Slice index 31.
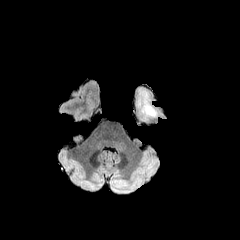
FLAIR MRI.
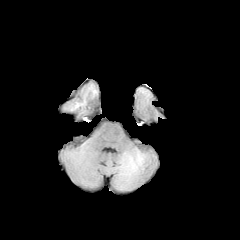
T1-weighted MR image.
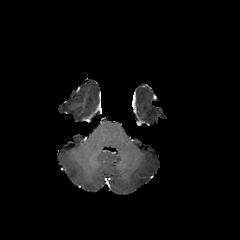
Post-contrast T1-weighted MR.
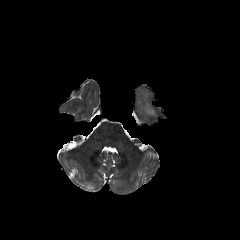
Same slice, T2-weighted magnetic resonance.
peritumoral_edema:
  - bbox(137, 90, 156, 119)